Axial view, Slice 72/155, Head
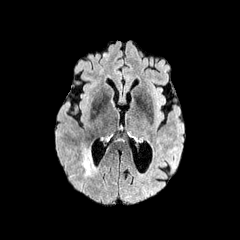
FLAIR MR image.
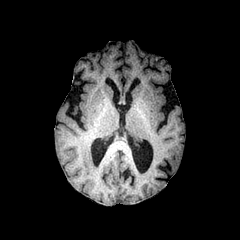
T1-weighted magnetic resonance.
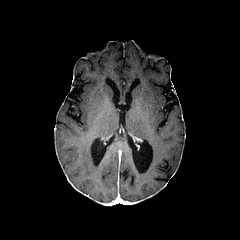
Post-contrast T1-weighted MR image.
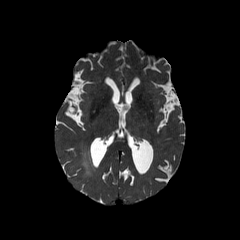
Same slice, T2-weighted MRI.
Annotated regions:
• peritumoral edema: (81, 149, 94, 176)